Brain | Slice 34 of 155
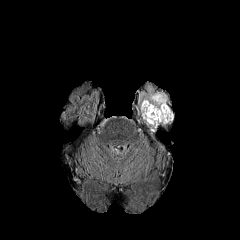
FLAIR MRI.
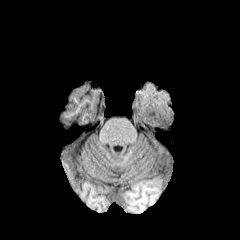
T1-weighted MR.
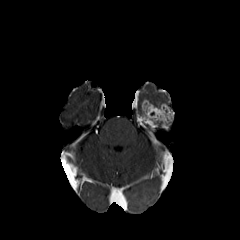
Post-contrast T1-weighted magnetic resonance.
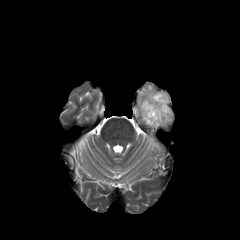
T2-weighted magnetic resonance of the same slice.
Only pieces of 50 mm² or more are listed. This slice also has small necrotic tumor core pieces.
{
  "peritumoral_edema": [
    "(139, 86, 167, 114)"
  ],
  "enhancing_tumor": [
    "(138, 100, 173, 133)"
  ]
}